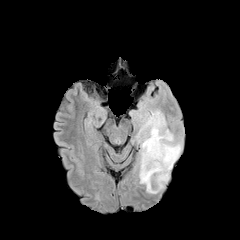
FLAIR MRI.
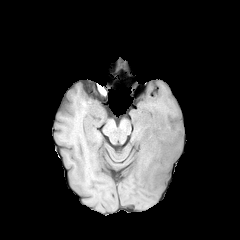
Same slice, T1-weighted magnetic resonance.
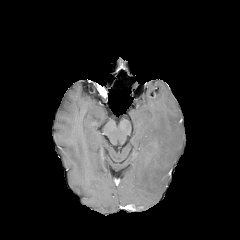
Post-contrast T1-weighted magnetic resonance.
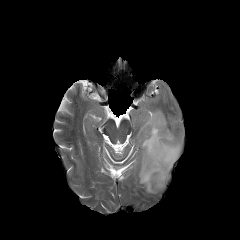
T2-weighted magnetic resonance.
Axial plane, 240x240 px
Segmented structures:
• peritumoral edema: 136, 109, 182, 193